Slice 69 of 155 | 240x240
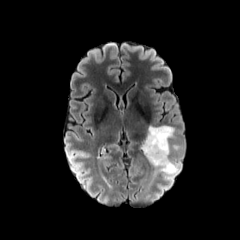
FLAIR MRI.
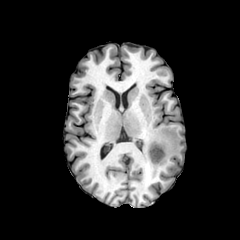
T1-weighted MR image.
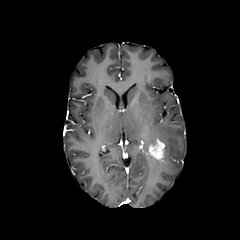
Post-contrast T1-weighted magnetic resonance.
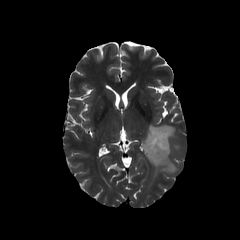
Same slice, T2-weighted MR image.
* peritumoral edema: [x1=143, y1=125, x2=179, y2=178]
* enhancing tumor: [x1=146, y1=138, x2=165, y2=163]